Axial view
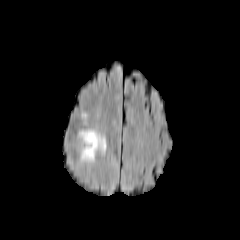
FLAIR magnetic resonance.
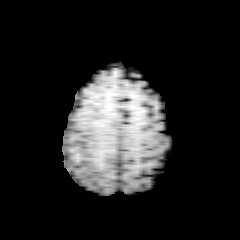
T1-weighted magnetic resonance.
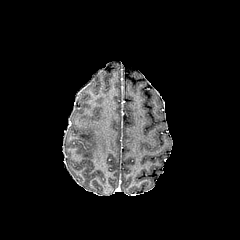
Post-contrast T1-weighted MR.
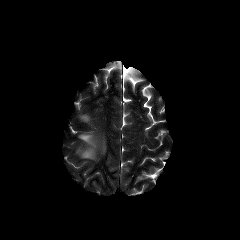
T2-weighted MRI.
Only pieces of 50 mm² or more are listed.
peritumoral edema = region(80, 130, 106, 159)